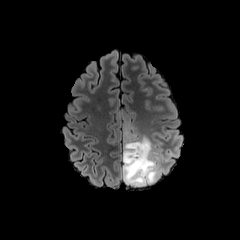
FLAIR MR.
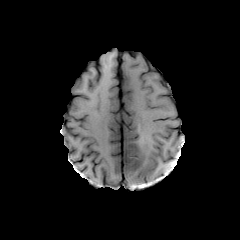
T1-weighted MR image.
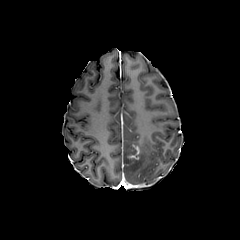
Post-contrast T1-weighted MR of the same slice.
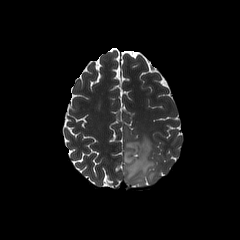
T2-weighted MRI.
Axial view. Image size 240x240. Head.
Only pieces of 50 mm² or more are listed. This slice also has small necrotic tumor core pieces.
The peritumoral edema is located at <box>122,133,164,185</box>. The enhancing tumor is at <box>128,145,139,159</box>.